Slice 89/155. 240x240. Axial slice. Head. Image width 240 mm, 1.00 mm slice spacing.
FLAIR MR image.
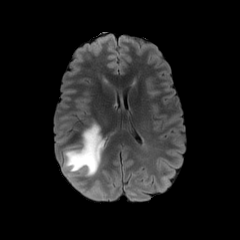
T1-weighted MR image.
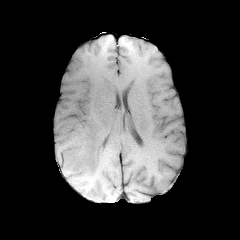
Post-contrast T1-weighted MRI.
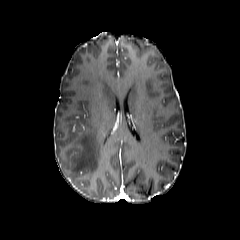
T2-weighted MRI.
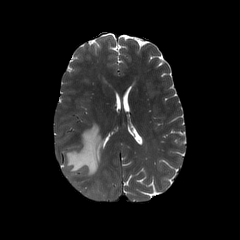
peritumoral edema — region(64, 122, 104, 176)